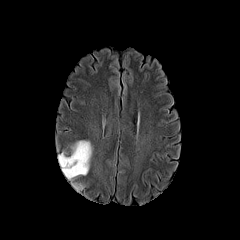
FLAIR MRI.
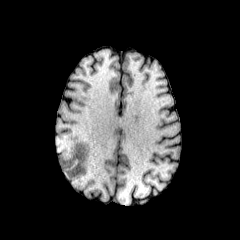
Same slice, T1-weighted MR.
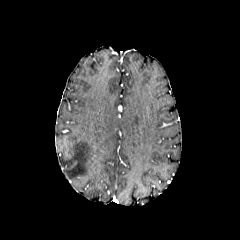
Post-contrast T1-weighted MR image of the same slice.
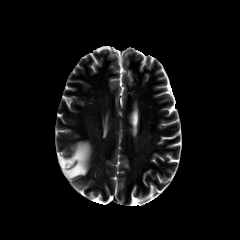
Same slice, T2-weighted MR.
240x240, Brain
2 peritumoral edema regions appear at (58,141,91,179), (73,182,83,191).